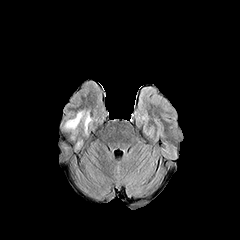
FLAIR MR image.
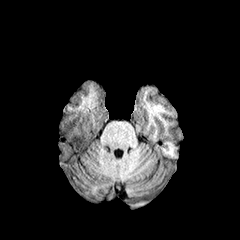
T1-weighted magnetic resonance.
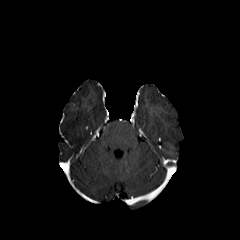
Post-contrast T1-weighted MR image of the same slice.
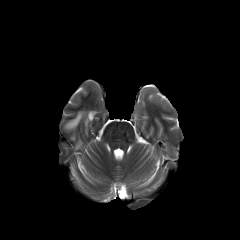
T2-weighted magnetic resonance.
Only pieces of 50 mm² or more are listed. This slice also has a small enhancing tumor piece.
{"peritumoral_edema": ["bbox=[64, 111, 91, 134]"]}